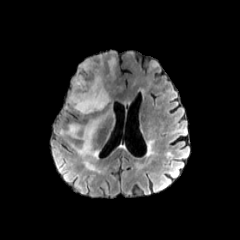
FLAIR magnetic resonance.
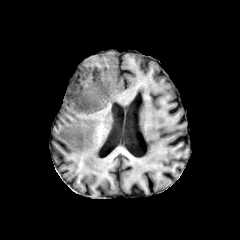
Same slice, T1-weighted MRI.
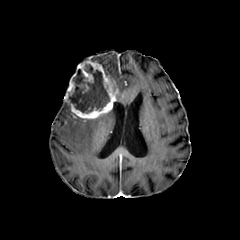
Post-contrast T1-weighted MR image.
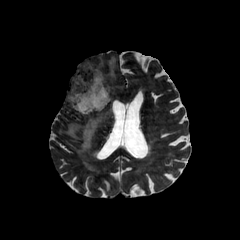
T2-weighted MR image.
Axial view
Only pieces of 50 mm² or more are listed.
necrotic tumor core — {"x1": 68, "y1": 64, "x2": 109, "y2": 112}
peritumoral edema — {"x1": 108, "y1": 57, "x2": 115, "y2": 77}, {"x1": 60, "y1": 114, "x2": 105, "y2": 157}
enhancing tumor — {"x1": 64, "y1": 58, "x2": 117, "y2": 119}